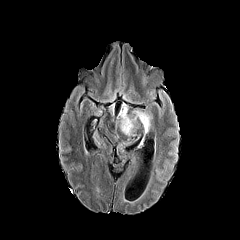
FLAIR MRI.
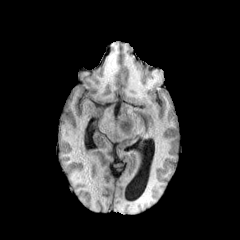
T1-weighted magnetic resonance.
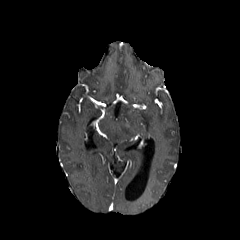
Post-contrast T1-weighted MRI.
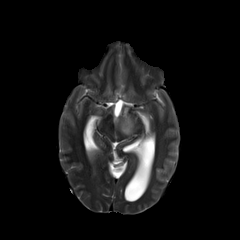
T2-weighted MRI of the same slice.
Brain. 240x240. Axial view.
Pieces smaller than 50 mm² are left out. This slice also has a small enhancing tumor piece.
The peritumoral edema lies within left=119, top=104, right=151, bottom=135.